Brain. Axial slice. 240x240. Image width 240 mm, 1.00 mm slice spacing.
FLAIR MR.
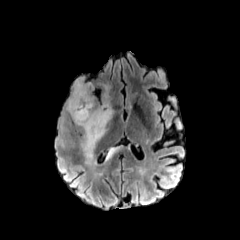
T1-weighted magnetic resonance.
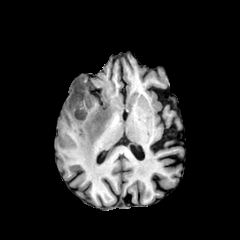
Post-contrast T1-weighted MR.
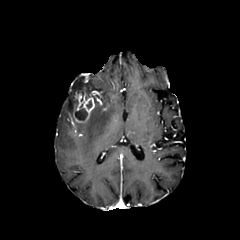
T2-weighted MR.
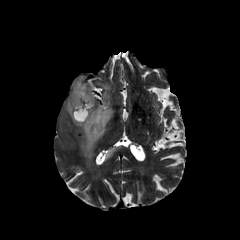
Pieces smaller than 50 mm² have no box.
enhancing tumor: bounding box [72,87,96,123]
peritumoral edema: bounding box [65,76,94,121], [75,83,113,159], [106,148,115,159]
necrotic tumor core: bounding box [75,108,87,120]